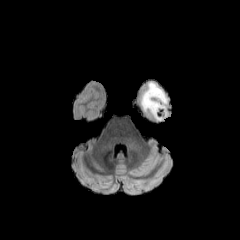
FLAIR MRI.
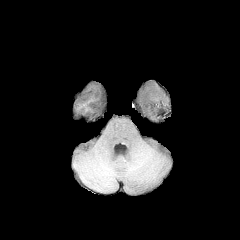
T1-weighted MR image of the same slice.
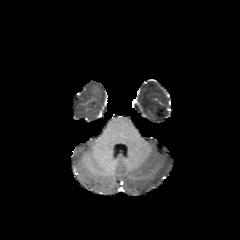
Post-contrast T1-weighted MRI.
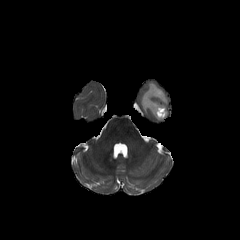
Same slice, T2-weighted magnetic resonance.
{"peritumoral_edema": ["box=[140, 82, 169, 122]"]}